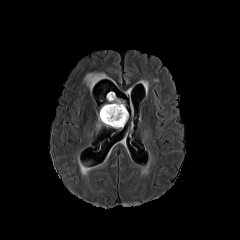
FLAIR MRI.
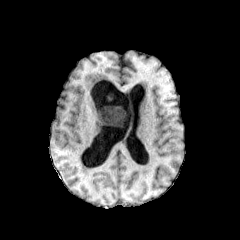
T1-weighted MRI of the same slice.
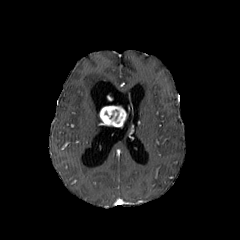
Post-contrast T1-weighted magnetic resonance of the same slice.
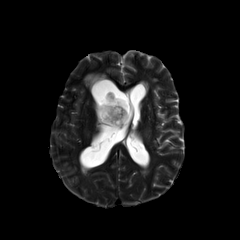
T2-weighted MR.
Brain
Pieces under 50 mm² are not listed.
necrotic tumor core at l=110, t=109, r=122, b=123
enhancing tumor at l=99, t=104, r=127, b=127
peritumoral edema at l=108, t=92, r=125, b=109; l=84, t=73, r=109, b=90